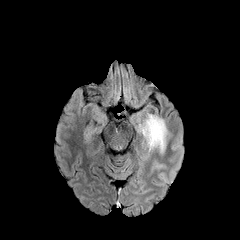
FLAIR MRI.
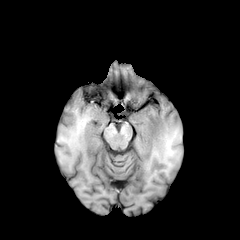
T1-weighted MR image.
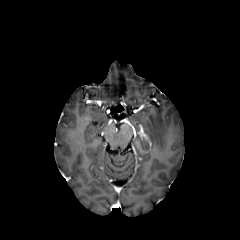
Same slice, post-contrast T1-weighted magnetic resonance.
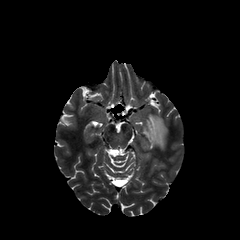
T2-weighted MR image.
Brain, Axial view
Segmented structures:
* peritumoral edema: 143, 114, 167, 151